Image width 240 mm. Slice 79/155.
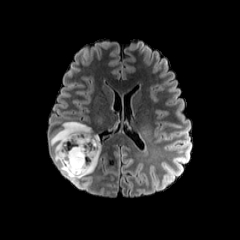
FLAIR MR image.
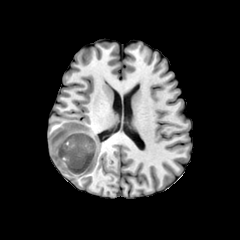
T1-weighted magnetic resonance.
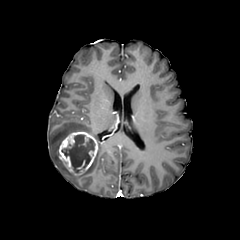
Post-contrast T1-weighted MRI.
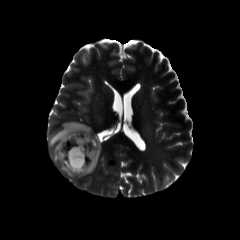
Same slice, T2-weighted MR image.
{"enhancing_tumor": ["<box>58,131,98,174</box>"], "peritumoral_edema": ["<box>49,121,101,178</box>"], "necrotic_tumor_core": ["<box>61,134,94,172</box>"]}